Axial plane, Slice index 98, Image size 240x240
FLAIR MR.
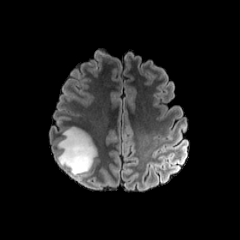
T1-weighted magnetic resonance.
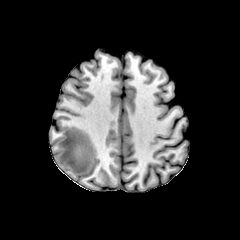
Post-contrast T1-weighted MR.
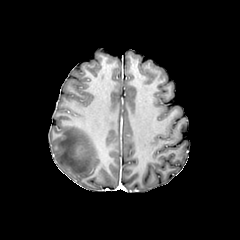
T2-weighted MRI.
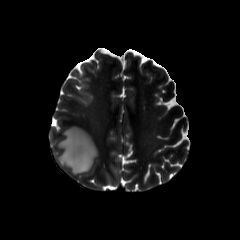
The peritumoral edema is located at x1=56, y1=126, x2=97, y2=177.